Brain. Axial plane.
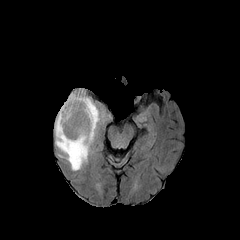
FLAIR MRI.
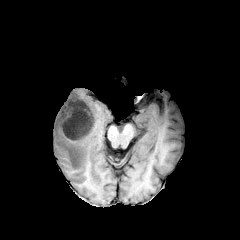
T1-weighted MR.
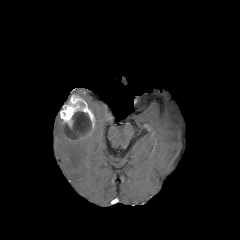
Post-contrast T1-weighted MR.
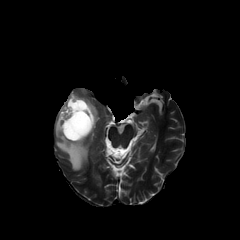
T2-weighted MR.
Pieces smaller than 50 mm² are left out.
necrotic_tumor_core:
  - bbox=[64, 101, 91, 139]
enhancing_tumor:
  - bbox=[60, 94, 95, 141]
peritumoral_edema:
  - bbox=[54, 88, 103, 170]